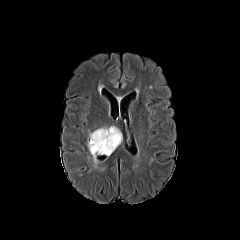
FLAIR MR.
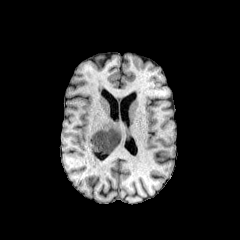
T1-weighted magnetic resonance of the same slice.
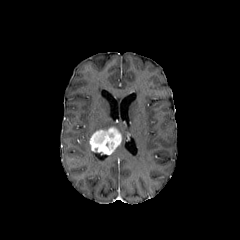
Same slice, post-contrast T1-weighted MRI.
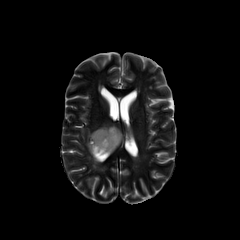
Same slice, T2-weighted MRI.
Brain. Axial slice.
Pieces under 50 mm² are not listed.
{
  "enhancing_tumor": [
    "[x1=89, y1=127, x2=121, y2=154]"
  ],
  "peritumoral_edema": [
    "[x1=87, y1=126, x2=109, y2=168]"
  ]
}